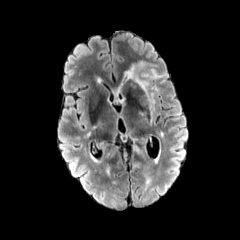
FLAIR magnetic resonance.
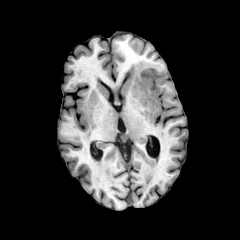
Same slice, T1-weighted MR image.
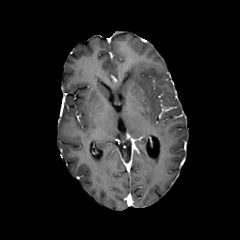
Post-contrast T1-weighted MR of the same slice.
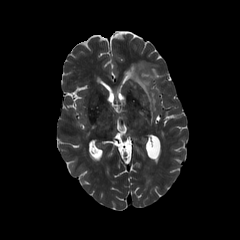
T2-weighted magnetic resonance.
Axial slice
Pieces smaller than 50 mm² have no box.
peritumoral edema — x1=124, y1=61, x2=163, y2=121